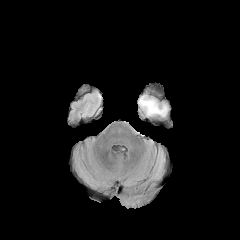
FLAIR magnetic resonance.
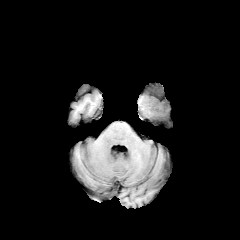
T1-weighted MR.
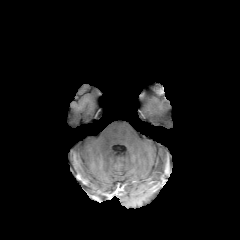
Post-contrast T1-weighted MR image.
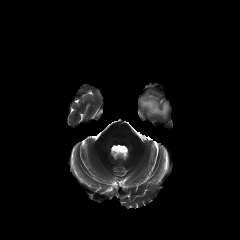
T2-weighted MR of the same slice.
Head | Axial plane
peritumoral edema: bbox(139, 94, 168, 117)